Brain, Image covers 240 mm x 240 mm
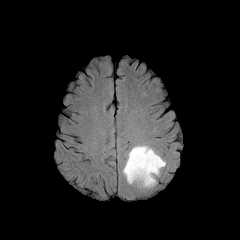
FLAIR MRI.
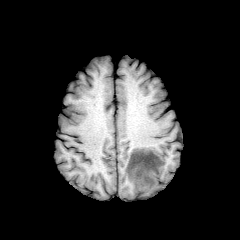
Same slice, T1-weighted MR image.
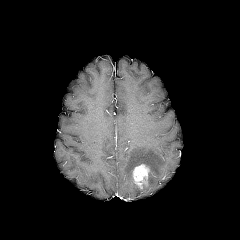
Post-contrast T1-weighted MR of the same slice.
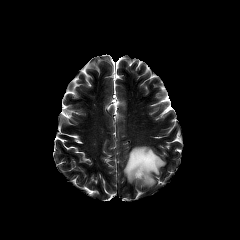
Same slice, T2-weighted MRI.
<segmentation>
  <enhancing_tumor>[132, 164, 149, 188]</enhancing_tumor>
  <peritumoral_edema>[123, 145, 165, 187]</peritumoral_edema>
</segmentation>